FLAIR magnetic resonance.
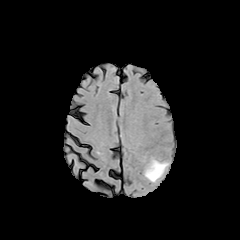
T1-weighted magnetic resonance.
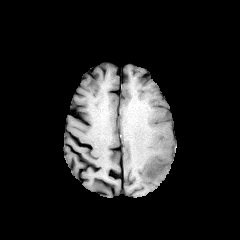
Post-contrast T1-weighted MR.
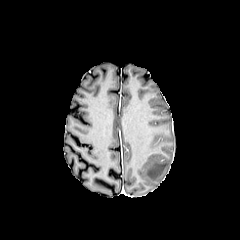
T2-weighted MR image.
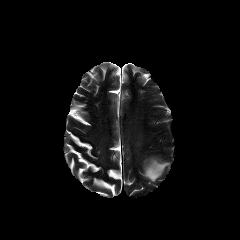
240x240; Axial view
{
  "peritumoral_edema": [
    "rect(144, 159, 168, 181)"
  ]
}